Slice index 73
FLAIR MR.
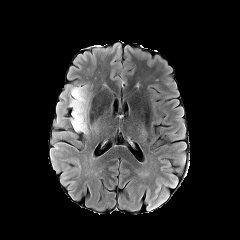
T1-weighted magnetic resonance.
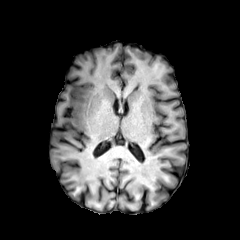
Post-contrast T1-weighted MR.
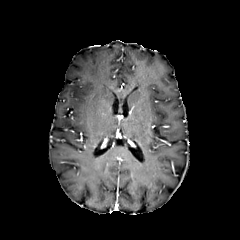
T2-weighted MR image.
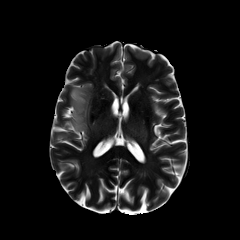
peritumoral_edema:
  - (69,84,90,134)